Head; Slice index 84
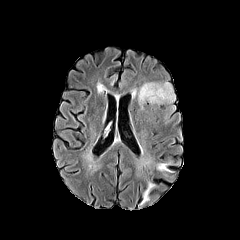
FLAIR magnetic resonance.
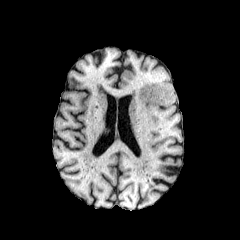
T1-weighted magnetic resonance.
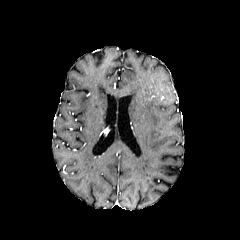
Post-contrast T1-weighted MR.
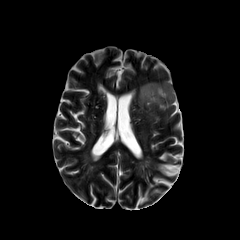
T2-weighted MR.
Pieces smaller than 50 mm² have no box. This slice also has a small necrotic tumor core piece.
The enhancing tumor appears at rect(157, 88, 165, 100). 2 peritumoral edema regions are bounded by rect(138, 82, 174, 108); rect(165, 106, 174, 122).